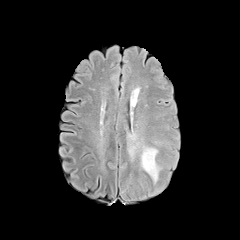
FLAIR MRI.
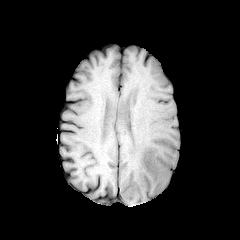
T1-weighted MRI of the same slice.
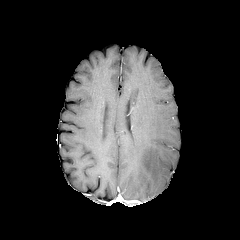
Post-contrast T1-weighted magnetic resonance.
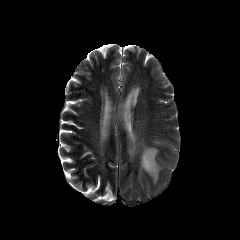
Same slice, T2-weighted MR image.
Axial view. 240x240 px. Brain.
Annotated regions:
* peritumoral edema: 126, 133, 161, 183